Brain, Axial slice
FLAIR MR image.
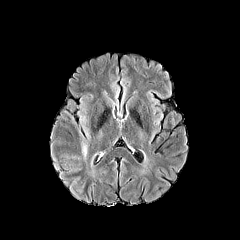
T1-weighted magnetic resonance.
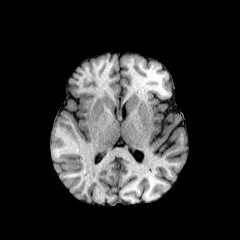
Post-contrast T1-weighted MR image.
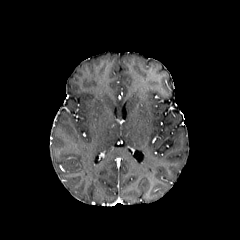
T2-weighted MR image.
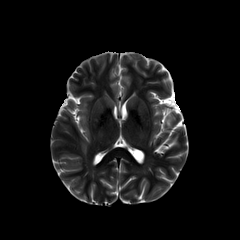
peritumoral_edema:
  - {"x1": 82, "y1": 143, "x2": 86, "y2": 156}